FLAIR MR image.
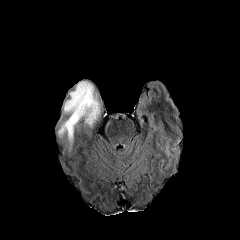
T1-weighted magnetic resonance.
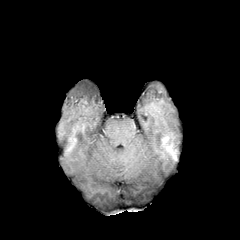
Post-contrast T1-weighted magnetic resonance.
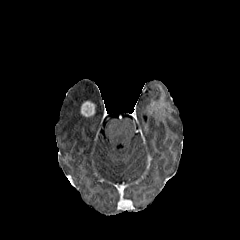
T2-weighted MRI.
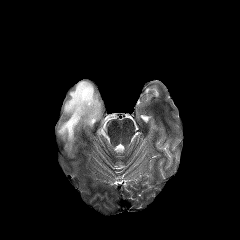
Axial slice, Brain
Segmented structures:
* enhancing tumor: (81, 101, 95, 116)
* peritumoral edema: (58, 81, 101, 151)